Head, Axial slice
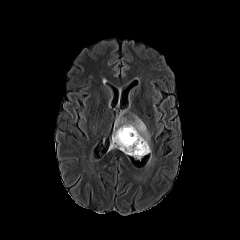
FLAIR MR.
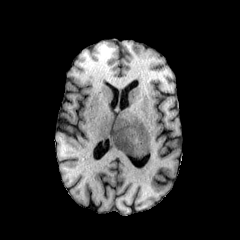
T1-weighted MR of the same slice.
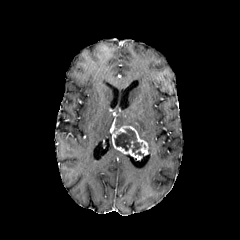
Post-contrast T1-weighted MR.
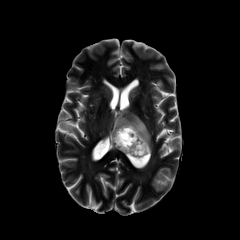
T2-weighted MRI.
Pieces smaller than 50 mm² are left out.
necrotic tumor core = <box>114,129,143,155</box>
peritumoral edema = <box>115,112,151,152</box>
enhancing tumor = <box>112,125,148,158</box>